Slice 81 of 155; Axial slice
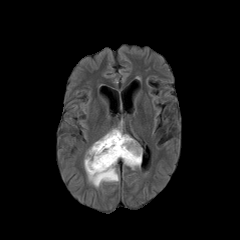
FLAIR MRI.
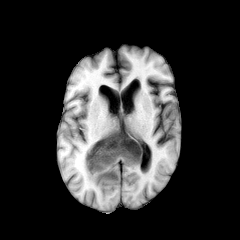
T1-weighted MRI.
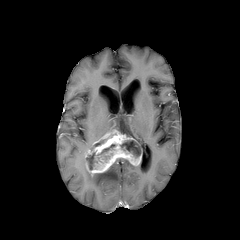
Post-contrast T1-weighted MR.
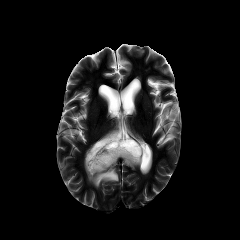
T2-weighted magnetic resonance.
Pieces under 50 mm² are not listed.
<segmentation>
  <necrotic_tumor_core>bbox=[120, 140, 140, 157]; bbox=[98, 144, 115, 154]; bbox=[88, 153, 97, 169]</necrotic_tumor_core>
  <enhancing_tumor>bbox=[85, 129, 142, 175]</enhancing_tumor>
  <peritumoral_edema>bbox=[123, 159, 140, 169]; bbox=[111, 120, 122, 133]; bbox=[84, 157, 119, 187]</peritumoral_edema>
</segmentation>